FLAIR magnetic resonance.
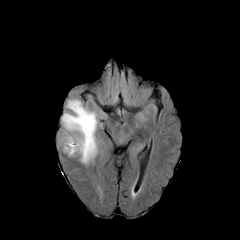
T1-weighted MR.
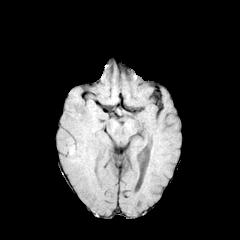
Post-contrast T1-weighted MR image.
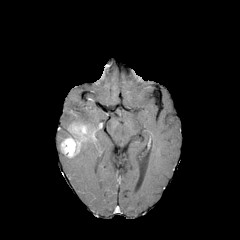
T2-weighted MR image.
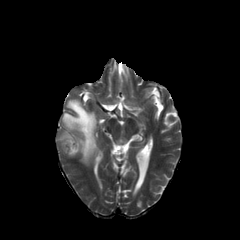
Axial plane | Head
The enhancing tumor lies within rect(61, 122, 95, 157). The peritumoral edema is at rect(60, 99, 99, 164).